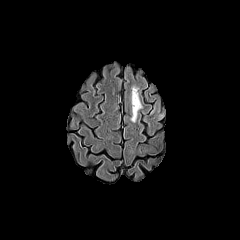
FLAIR MRI.
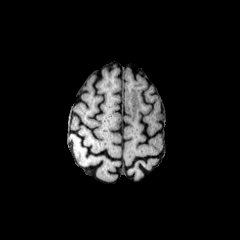
T1-weighted MR image of the same slice.
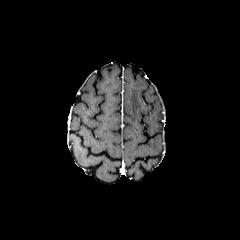
Post-contrast T1-weighted MR of the same slice.
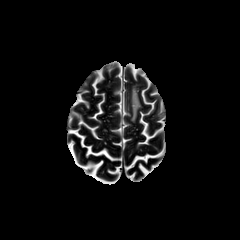
T2-weighted MRI.
Brain; Axial slice
The peritumoral edema appears at (x1=131, y1=86, x2=142, y2=122).